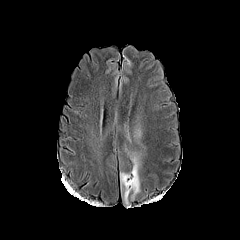
FLAIR MRI.
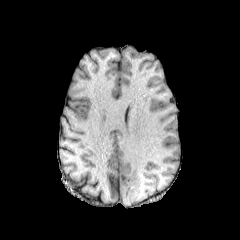
Same slice, T1-weighted MRI.
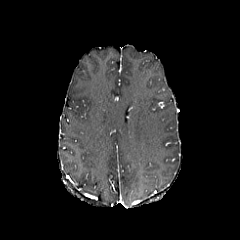
Post-contrast T1-weighted magnetic resonance.
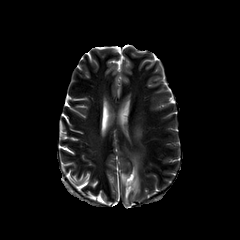
Same slice, T2-weighted MR image.
peritumoral edema: (x1=121, y1=157, x2=139, y2=203)